Image size 240x240; Slice 45 of 155; Brain
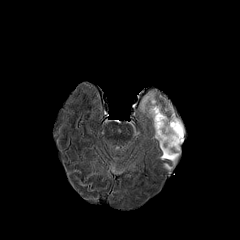
FLAIR magnetic resonance.
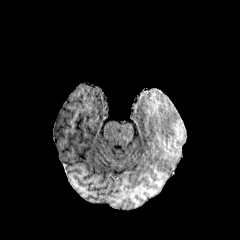
T1-weighted MR of the same slice.
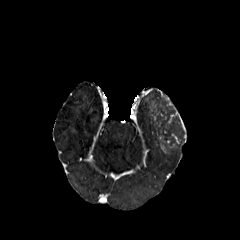
Same slice, post-contrast T1-weighted MR.
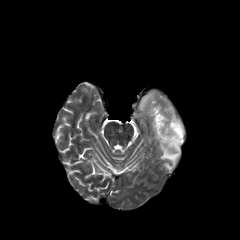
T2-weighted MR image.
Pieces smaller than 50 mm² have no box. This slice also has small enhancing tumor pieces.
{
  "peritumoral_edema": [
    "(x1=155, y1=122, x2=161, y2=143)",
    "(x1=161, y1=144, x2=180, y2=164)"
  ],
  "necrotic_tumor_core": [
    "(x1=153, y1=106, x2=183, y2=148)"
  ]
}